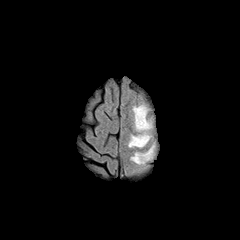
FLAIR MR image.
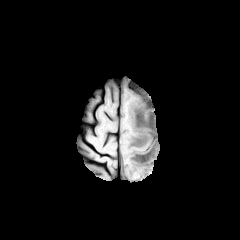
Same slice, T1-weighted magnetic resonance.
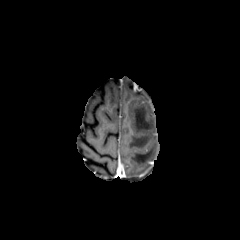
Post-contrast T1-weighted magnetic resonance.
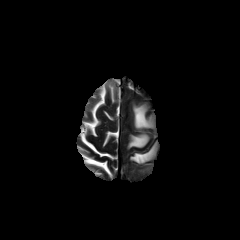
T2-weighted magnetic resonance.
Axial view
peritumoral edema: [x1=128, y1=104, x2=153, y2=148], [x1=130, y1=144, x2=155, y2=164]